Image size 240x240, Brain
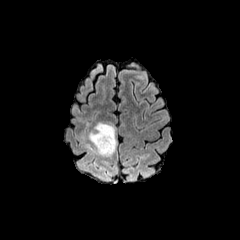
FLAIR MR image.
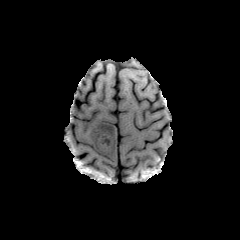
T1-weighted MR.
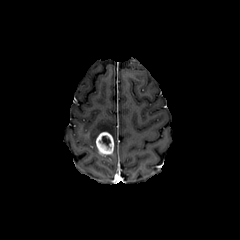
Post-contrast T1-weighted MRI.
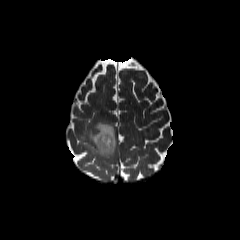
T2-weighted MR of the same slice.
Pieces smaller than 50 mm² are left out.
{"enhancing_tumor": ["left=95, top=132, right=114, bottom=156"], "peritumoral_edema": ["left=84, top=122, right=116, bottom=157"], "necrotic_tumor_core": ["left=102, top=136, right=110, bottom=146"]}